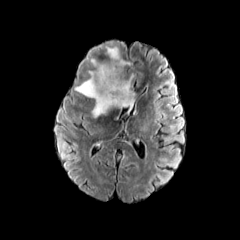
FLAIR magnetic resonance.
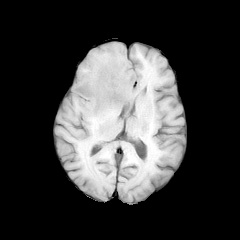
Same slice, T1-weighted MR.
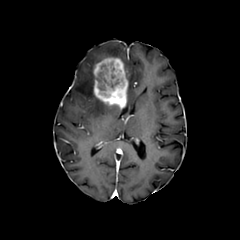
Post-contrast T1-weighted MR.
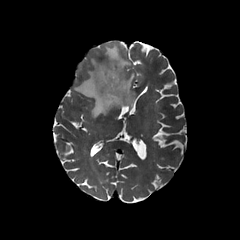
T2-weighted MR.
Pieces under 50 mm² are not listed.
peritumoral edema — (74, 70, 110, 118), (125, 73, 135, 111), (105, 45, 132, 67)
necrotic tumor core — (98, 91, 115, 97), (109, 61, 115, 78), (97, 79, 107, 90), (99, 63, 123, 90)
enhancing tumor — (93, 57, 128, 108)